FLAIR MR.
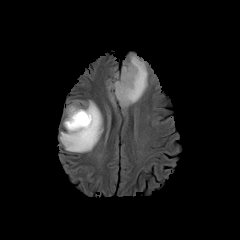
T1-weighted MRI.
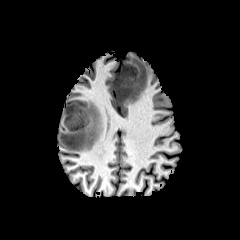
Post-contrast T1-weighted magnetic resonance.
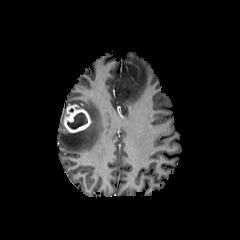
T2-weighted MRI.
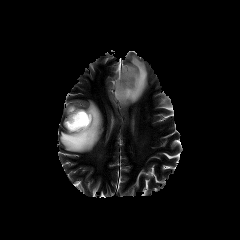
Brain; Axial view
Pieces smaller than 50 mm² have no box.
peritumoral edema at l=59, t=100, r=103, b=152; l=108, t=54, r=148, b=107
enhancing tumor at l=64, t=104, r=90, b=132
necrotic tumor core at l=67, t=112, r=87, b=129